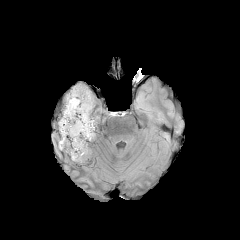
FLAIR MR image.
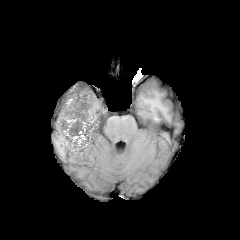
T1-weighted MR image.
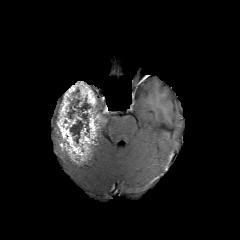
Post-contrast T1-weighted MRI.
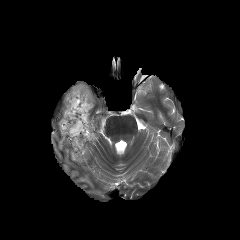
T2-weighted MRI of the same slice.
Head. Axial slice. 240x240.
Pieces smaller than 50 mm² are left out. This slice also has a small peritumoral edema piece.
{"necrotic_tumor_core": ["67 98 91 119", "80 113 89 132", "70 120 83 143"], "enhancing_tumor": ["57 81 105 163"]}